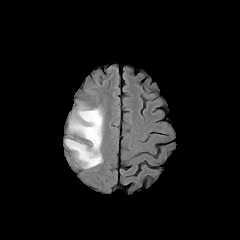
FLAIR MR.
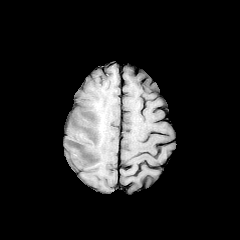
T1-weighted MR.
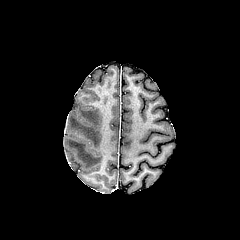
Post-contrast T1-weighted magnetic resonance.
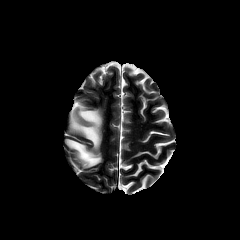
T2-weighted magnetic resonance.
Head
peritumoral_edema:
  - [x1=65, y1=104, x2=103, y2=168]